Image width 240 mm
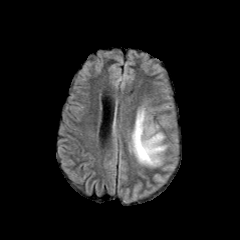
FLAIR MRI.
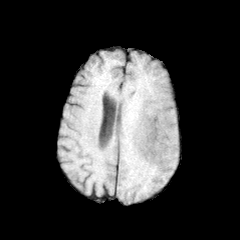
Same slice, T1-weighted MR image.
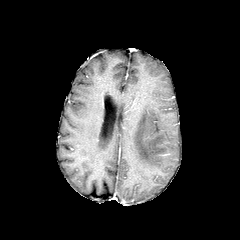
Post-contrast T1-weighted MR image.
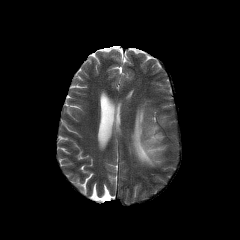
T2-weighted magnetic resonance of the same slice.
The peritumoral edema appears at region(132, 108, 165, 165).